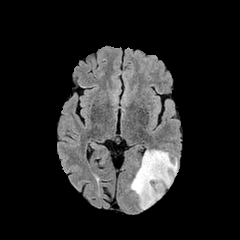
FLAIR MR.
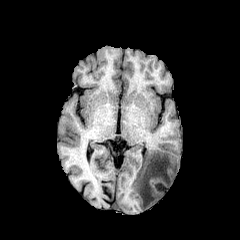
Same slice, T1-weighted MRI.
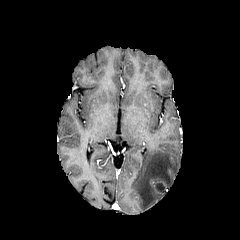
Post-contrast T1-weighted MR image of the same slice.
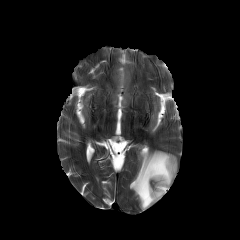
T2-weighted MR of the same slice.
Head
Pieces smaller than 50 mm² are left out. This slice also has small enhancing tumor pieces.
necrotic tumor core = x1=156 y1=183 x2=164 y2=192
peritumoral edema = x1=130 y1=150 x2=177 y2=209